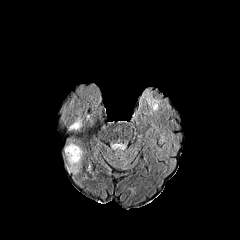
FLAIR MR.
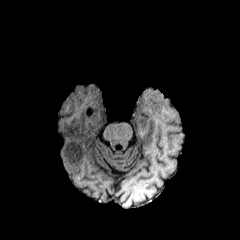
T1-weighted MR image.
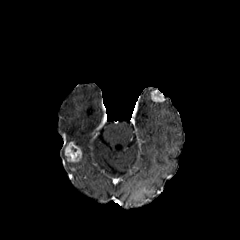
Post-contrast T1-weighted MR.
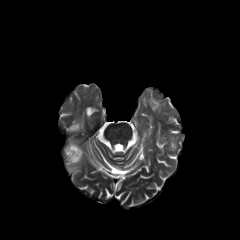
T2-weighted MR of the same slice.
Brain.
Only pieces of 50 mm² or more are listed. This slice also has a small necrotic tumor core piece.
Annotated regions:
- peritumoral edema: 69,122,80,130; 67,149,82,173
- enhancing tumor: 65,142,80,161